Axial slice | Head
FLAIR MRI.
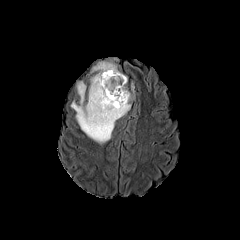
T1-weighted MRI.
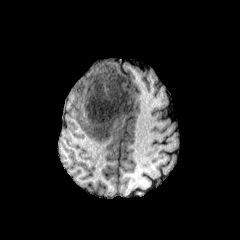
Post-contrast T1-weighted MR image.
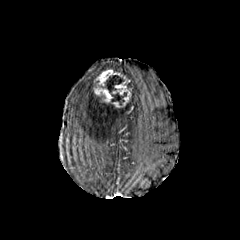
T2-weighted MRI.
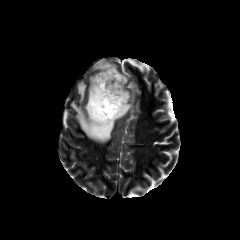
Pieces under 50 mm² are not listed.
Findings:
- necrotic tumor core: left=93, top=75, right=127, bottom=108
- peritumoral edema: left=71, top=62, right=134, bottom=144
- enhancing tumor: left=111, top=76, right=131, bottom=107; left=93, top=69, right=122, bottom=102